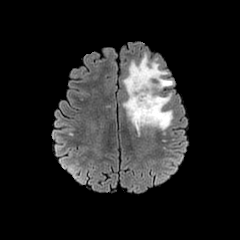
FLAIR MR.
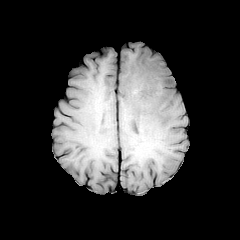
Same slice, T1-weighted MRI.
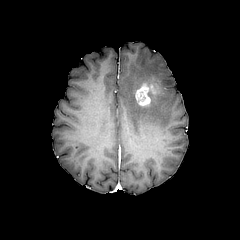
Post-contrast T1-weighted MRI.
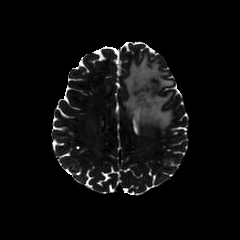
T2-weighted magnetic resonance of the same slice.
Head | Axial view | 240x240 px
enhancing_tumor:
  - x1=135 y1=82 x2=155 y2=106
peritumoral_edema:
  - x1=123 y1=55 x2=173 y2=130